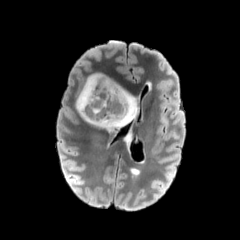
FLAIR MR image.
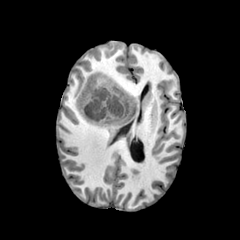
Same slice, T1-weighted magnetic resonance.
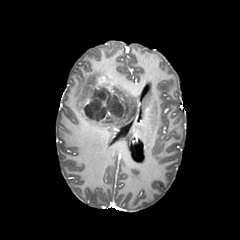
Post-contrast T1-weighted magnetic resonance.
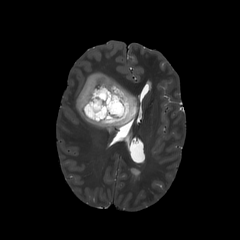
T2-weighted MR image of the same slice.
Brain
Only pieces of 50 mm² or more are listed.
peritumoral edema: x1=75 y1=73 x2=138 y2=131 | enhancing tumor: x1=82 y1=76 x2=126 y2=116, x1=90 y1=110 x2=121 y2=121 | necrotic tumor core: x1=84 y1=91 x2=123 y2=120